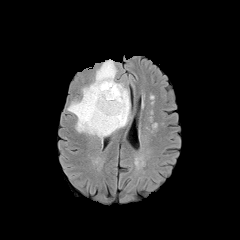
FLAIR MRI.
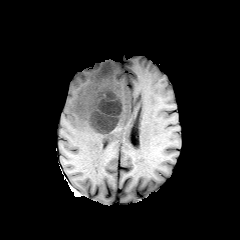
Same slice, T1-weighted MR.
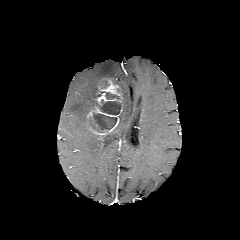
Post-contrast T1-weighted magnetic resonance of the same slice.
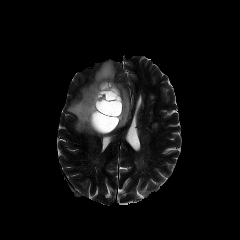
Same slice, T2-weighted MR image.
Axial slice; 240x240
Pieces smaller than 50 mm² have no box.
<segmentation>
  <enhancing_tumor>l=87, t=79, r=122, b=135</enhancing_tumor>
  <peritumoral_edema>l=67, t=59, r=130, b=141</peritumoral_edema>
  <necrotic_tumor_core>l=90, t=112, r=117, b=132; l=99, t=91, r=120, b=99; l=97, t=100, r=121, b=115</necrotic_tumor_core>
</segmentation>